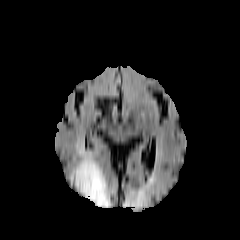
FLAIR MRI.
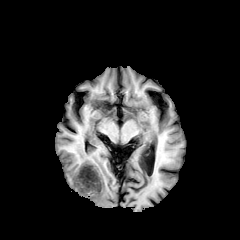
T1-weighted MR image of the same slice.
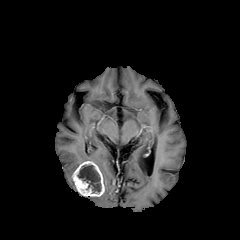
Post-contrast T1-weighted MRI.
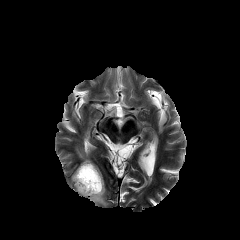
T2-weighted magnetic resonance of the same slice.
Brain. Image size 240x240.
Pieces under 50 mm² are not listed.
enhancing tumor = <box>72,161,104,196</box>
peritumoral edema = <box>85,175,110,207</box>, <box>70,142,98,182</box>
necrotic tumor core = <box>78,165,100,192</box>